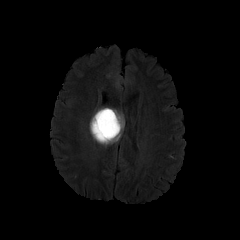
FLAIR MR.
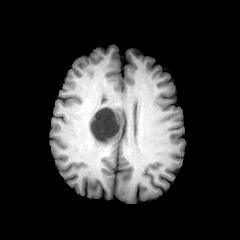
T1-weighted MR.
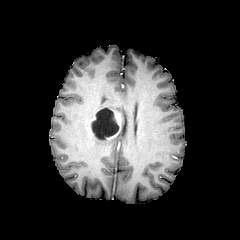
Post-contrast T1-weighted MR image of the same slice.
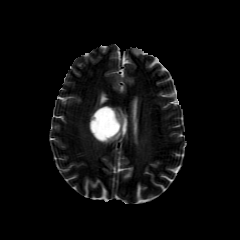
T2-weighted magnetic resonance of the same slice.
Brain
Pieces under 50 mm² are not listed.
necrotic tumor core: (x1=91, y1=109, x2=119, y2=140) | enhancing tumor: (x1=100, y1=109, x2=121, y2=141), (x1=89, y1=114, x2=95, y2=135) | peritumoral edema: (x1=92, y1=108, x2=124, y2=145)